FLAIR MR.
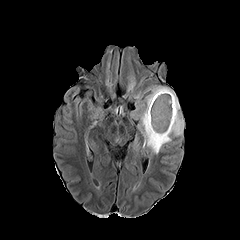
T1-weighted MR.
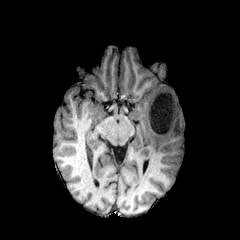
Post-contrast T1-weighted MR image.
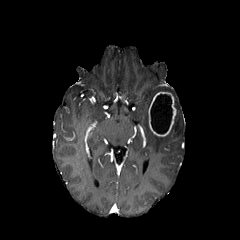
T2-weighted MRI.
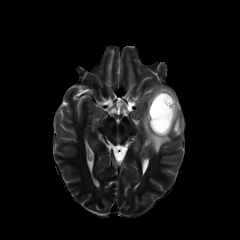
Axial slice
* peritumoral edema: <box>141,86,183,153</box>
* necrotic tumor core: <box>150,94,172,134</box>
* enhancing tumor: <box>148,91,176,136</box>